Head; Slice index 90
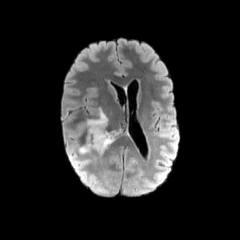
FLAIR MR image.
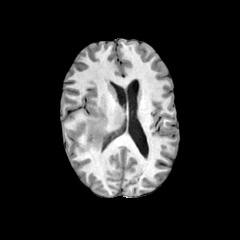
Same slice, T1-weighted magnetic resonance.
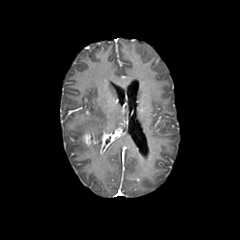
Same slice, post-contrast T1-weighted MR image.
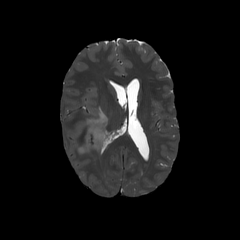
T2-weighted MR image of the same slice.
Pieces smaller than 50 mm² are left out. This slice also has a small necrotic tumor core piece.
enhancing tumor = (left=84, top=132, right=90, bottom=145), (left=101, top=132, right=114, bottom=148)
peritumoral edema = (left=87, top=109, right=107, bottom=151), (left=78, top=144, right=90, bottom=153)